FLAIR MRI.
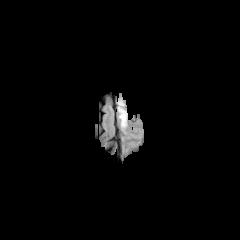
T1-weighted magnetic resonance.
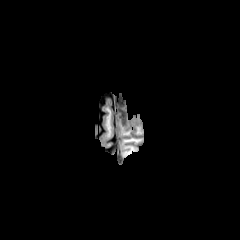
Post-contrast T1-weighted MRI.
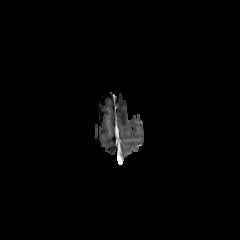
T2-weighted MR image.
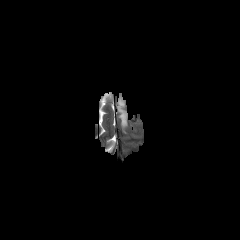
Axial plane
<segmentation>
  <peritumoral_edema>rect(118, 100, 127, 129)</peritumoral_edema>
</segmentation>